FLAIR MRI.
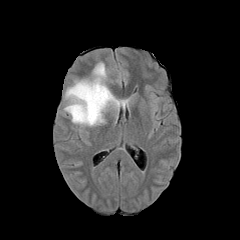
T1-weighted MR image.
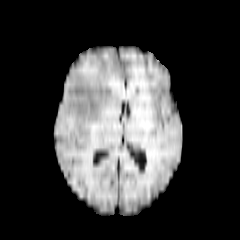
Post-contrast T1-weighted magnetic resonance.
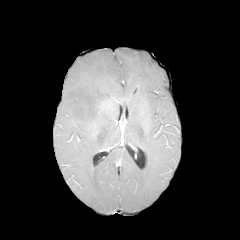
T2-weighted MRI.
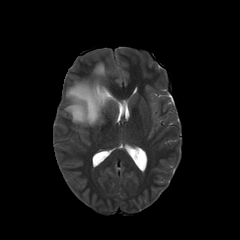
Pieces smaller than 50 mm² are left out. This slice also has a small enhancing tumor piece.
peritumoral edema: 64:62:128:126